FLAIR magnetic resonance.
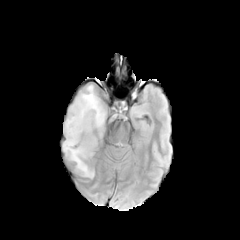
T1-weighted magnetic resonance.
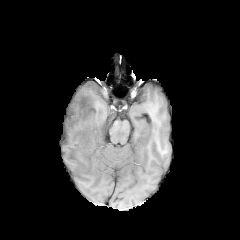
Post-contrast T1-weighted MRI.
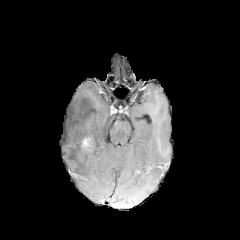
T2-weighted magnetic resonance.
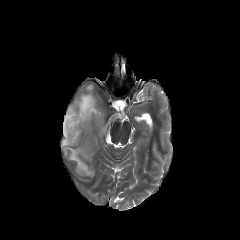
Axial view. Head.
enhancing tumor: bounding box left=81, top=136, right=91, bottom=150
peritumoral edema: bounding box left=61, top=84, right=105, bottom=178